FLAIR MR.
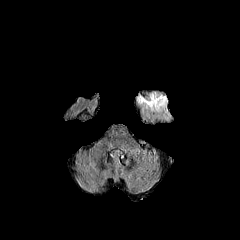
T1-weighted MR.
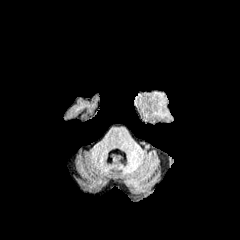
Post-contrast T1-weighted magnetic resonance.
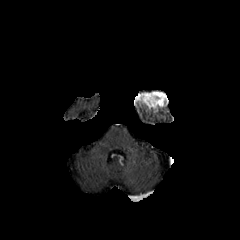
T2-weighted MRI.
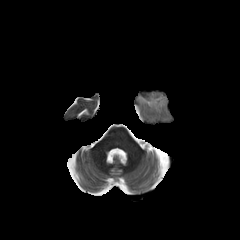
240x240
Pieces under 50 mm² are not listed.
enhancing_tumor:
  - {"x1": 136, "y1": 91, "x2": 168, "y2": 112}
peritumoral_edema:
  - {"x1": 141, "y1": 107, "x2": 170, "y2": 119}